FLAIR MRI.
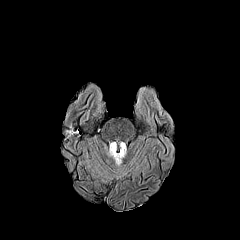
T1-weighted MRI.
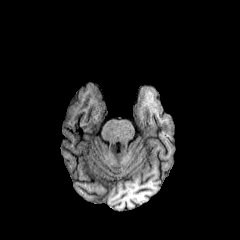
Post-contrast T1-weighted magnetic resonance.
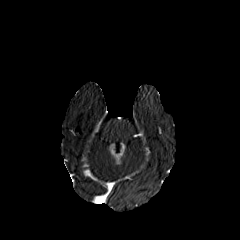
T2-weighted MRI.
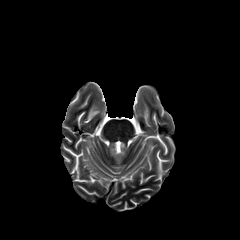
Axial view, Head
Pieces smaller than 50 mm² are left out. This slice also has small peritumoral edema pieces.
Segmented structures:
- enhancing tumor: <bbox>109, 143, 125, 164</bbox>